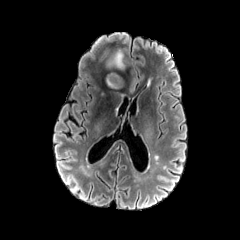
FLAIR magnetic resonance.
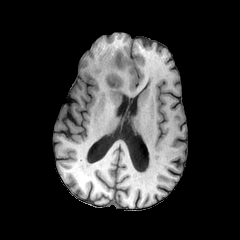
T1-weighted MR image of the same slice.
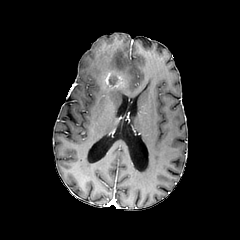
Same slice, post-contrast T1-weighted MR image.
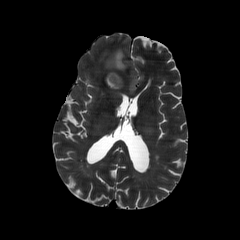
T2-weighted magnetic resonance.
Axial slice
necrotic tumor core = <bbox>109, 76, 117, 85</bbox>
peritumoral edema = <bbox>108, 50, 125, 69</bbox>
enhancing tumor = <bbox>104, 71, 124, 88</bbox>